Slice index 54; Head; Image width 240 mm, 1.00 mm slice spacing
FLAIR MR image.
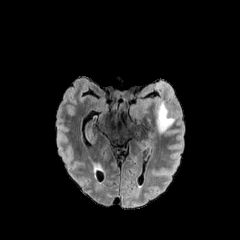
T1-weighted MRI.
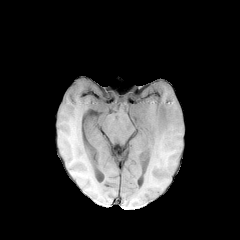
Post-contrast T1-weighted MR.
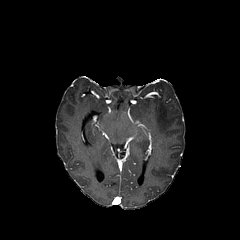
T2-weighted MR.
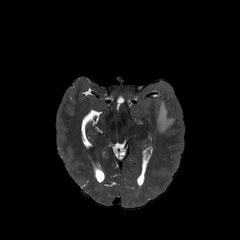
<segmentation>
  <peritumoral_edema>157, 101, 174, 133</peritumoral_edema>
</segmentation>